Axial plane, Slice 103/155, Brain
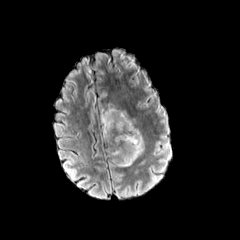
FLAIR magnetic resonance.
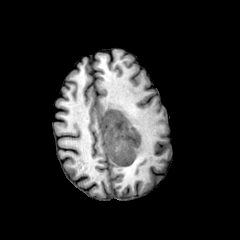
T1-weighted MRI of the same slice.
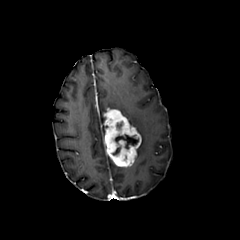
Post-contrast T1-weighted MR image.
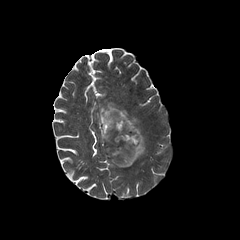
T2-weighted MRI.
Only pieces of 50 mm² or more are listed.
The largest necrotic tumor core region is located at (115,134,138,148). The 3 largest peritumoral edema regions are located at (137,136,143,157), (107,103,141,135), (100,108,106,140). The enhancing tumor is at (103,108,141,167).